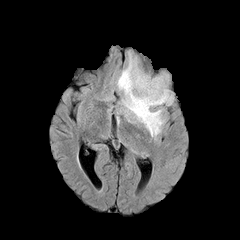
FLAIR MR image.
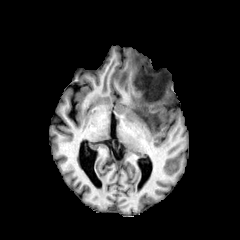
T1-weighted MR.
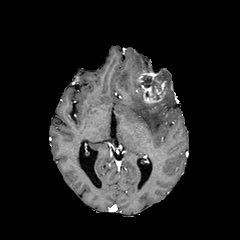
Post-contrast T1-weighted magnetic resonance.
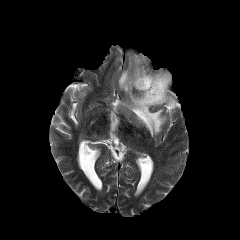
Same slice, T2-weighted magnetic resonance.
240x240 px. Brain.
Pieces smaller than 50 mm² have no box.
Segmented structures:
* peritumoral edema: (x1=117, y1=52, x2=173, y2=141)
* enhancing tumor: (x1=135, y1=70, x2=166, y2=103)
* necrotic tumor core: (x1=155, y1=73, x2=166, y2=82), (x1=138, y1=76, x2=157, y2=93)